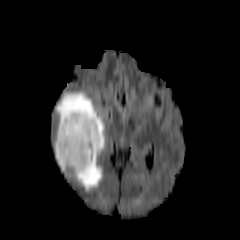
FLAIR MRI.
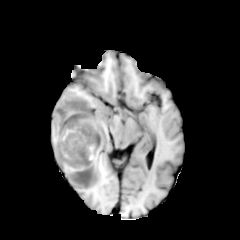
T1-weighted magnetic resonance.
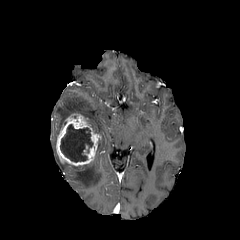
Post-contrast T1-weighted MRI.
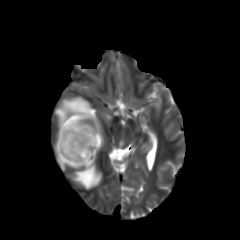
T2-weighted MR image.
Head; Axial view
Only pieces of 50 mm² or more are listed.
necrotic tumor core: <box>60,124,92,162</box>
enhancing tumor: <box>56,112,100,166</box>
peritumoral edema: <box>56,91,104,192</box>, <box>56,152,64,171</box>